Head; Slice 82/155; Image size 240x240; Axial view
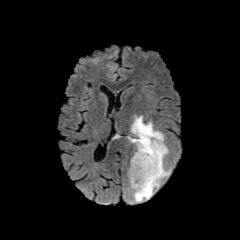
FLAIR MRI.
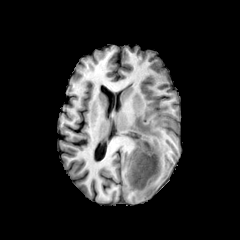
T1-weighted MR image.
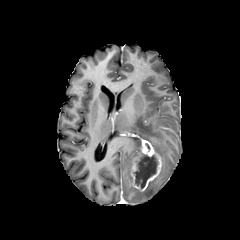
Post-contrast T1-weighted MR.
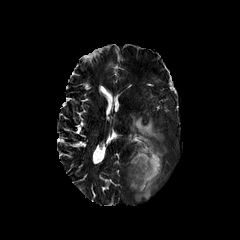
T2-weighted magnetic resonance.
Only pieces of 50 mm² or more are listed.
necrotic tumor core: 134 155 157 188
enhancing tumor: 130 139 161 191
peritumoral edema: 128 116 170 202